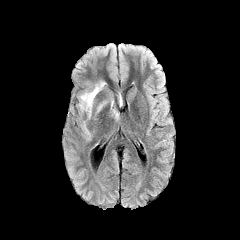
FLAIR magnetic resonance.
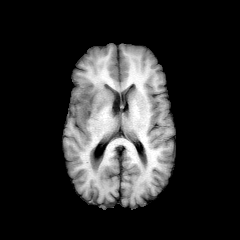
T1-weighted MRI.
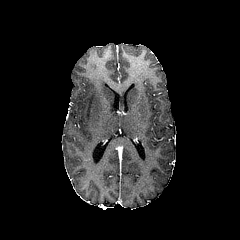
Same slice, post-contrast T1-weighted MRI.
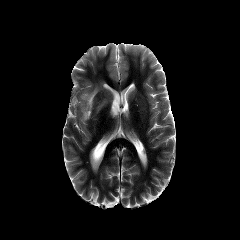
T2-weighted MRI of the same slice.
Axial plane. Brain.
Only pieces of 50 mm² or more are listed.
Findings:
• peritumoral edema: left=82, top=121, right=90, bottom=139; left=79, top=82, right=105, bottom=118